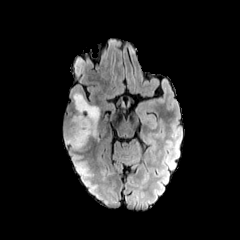
FLAIR magnetic resonance.
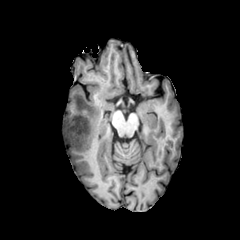
T1-weighted MR image of the same slice.
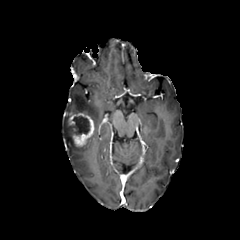
Post-contrast T1-weighted MRI.
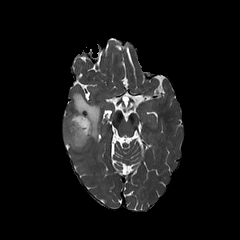
Same slice, T2-weighted MR.
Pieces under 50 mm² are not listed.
* necrotic tumor core: [73, 116, 89, 134]
* peritumoral edema: [63, 113, 83, 149], [73, 92, 99, 137]
* enhancing tumor: [68, 112, 94, 147]